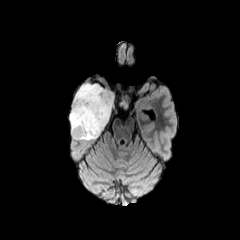
FLAIR MR image.
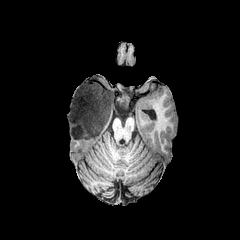
T1-weighted MRI of the same slice.
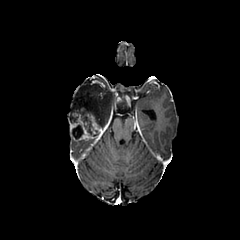
Post-contrast T1-weighted MR image.
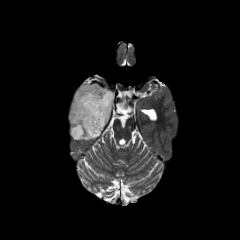
T2-weighted MR of the same slice.
Axial plane.
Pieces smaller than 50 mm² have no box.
Segmented structures:
• necrotic tumor core: (left=81, top=114, right=92, bottom=135), (left=72, top=125, right=83, bottom=139)
• peritumoral edema: (left=69, top=82, right=114, bottom=129)
• enhancing tumor: (left=69, top=108, right=102, bottom=140)